Brain, Slice 99 of 155
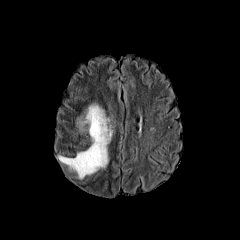
FLAIR magnetic resonance.
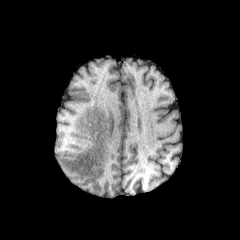
T1-weighted magnetic resonance.
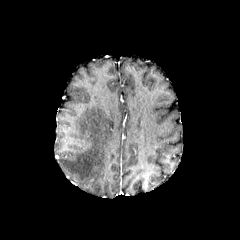
Post-contrast T1-weighted MRI of the same slice.
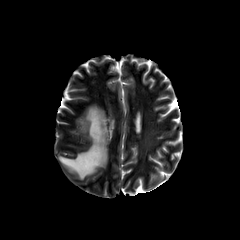
T2-weighted magnetic resonance of the same slice.
peritumoral_edema:
  - (x1=57, y1=102, x2=112, y2=179)